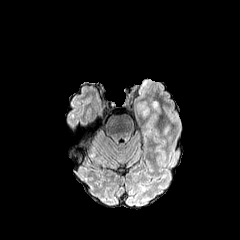
FLAIR MRI.
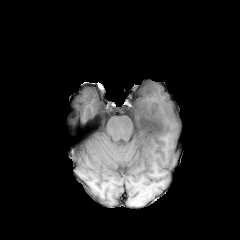
T1-weighted magnetic resonance.
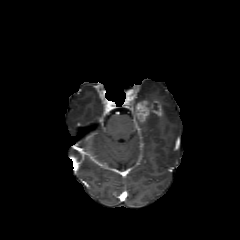
Same slice, post-contrast T1-weighted MR.
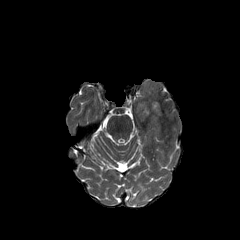
Same slice, T2-weighted MRI.
Brain, 240x240 px, Axial plane
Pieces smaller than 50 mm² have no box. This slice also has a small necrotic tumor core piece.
2 enhancing tumor regions are bounded by [x1=135, y1=100, x2=153, y2=120], [x1=152, y1=101, x2=162, y2=116].